FLAIR MR image.
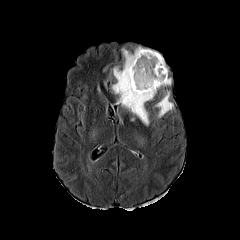
T1-weighted MRI.
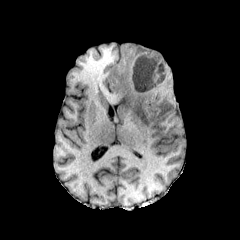
Post-contrast T1-weighted MRI.
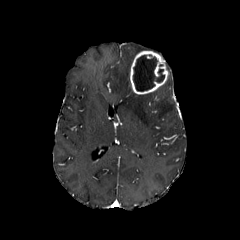
T2-weighted MR.
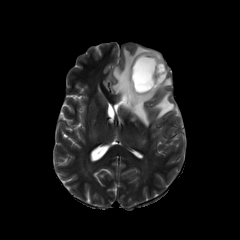
Brain; Axial slice
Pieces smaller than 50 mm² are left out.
peritumoral edema = left=111, top=46, right=157, bottom=126; left=158, top=76, right=171, bottom=91; left=155, top=90, right=173, bottom=117
necrotic tumor core = left=133, top=55, right=164, bottom=91
enhancing tumor = left=130, top=51, right=168, bottom=94